FLAIR MR image.
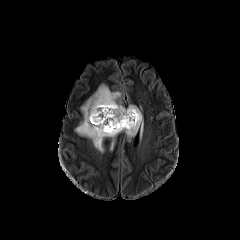
T1-weighted MRI.
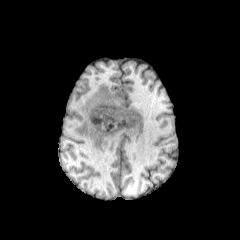
Post-contrast T1-weighted MRI.
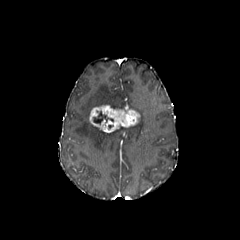
T2-weighted MR.
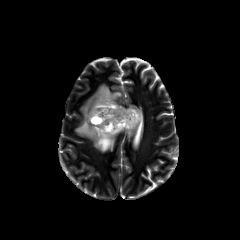
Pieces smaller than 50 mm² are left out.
Annotated regions:
- necrotic tumor core: bbox(93, 111, 113, 123)
- peritumoral edema: bbox(75, 84, 143, 152)
- enhancing tumor: bbox(89, 105, 140, 132)